Slice index 99.
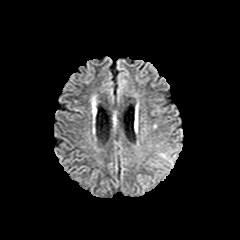
FLAIR MR.
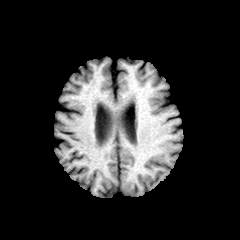
T1-weighted magnetic resonance.
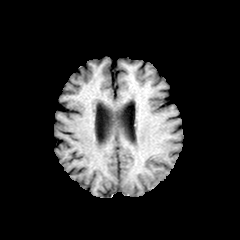
Post-contrast T1-weighted MR.
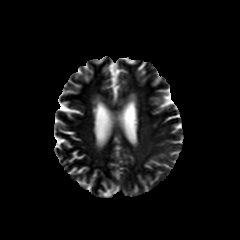
T2-weighted MR image.
peritumoral edema: bounding box (x1=159, y1=153, x2=172, y2=163)